Slice 58/155. Axial slice.
FLAIR magnetic resonance.
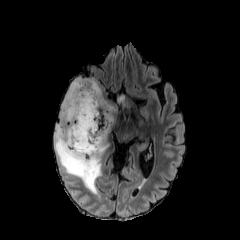
T1-weighted MRI.
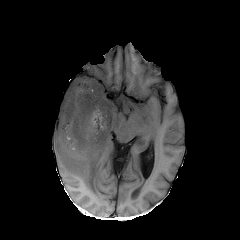
Post-contrast T1-weighted magnetic resonance.
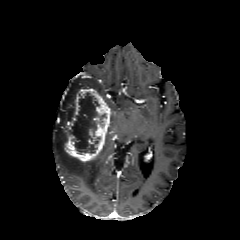
T2-weighted MR.
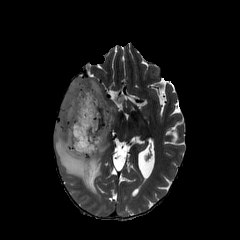
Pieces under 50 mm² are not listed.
The 2 largest peritumoral edema regions are bounded by 54, 78, 107, 195; 117, 95, 124, 103. The largest necrotic tumor core region appears at 71, 93, 99, 153. The enhancing tumor is located at 64, 88, 112, 161.